FLAIR MR image.
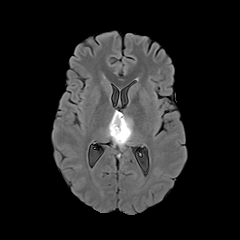
T1-weighted MRI.
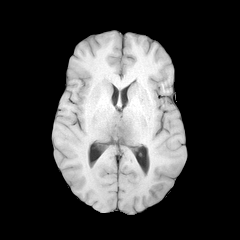
Post-contrast T1-weighted MRI.
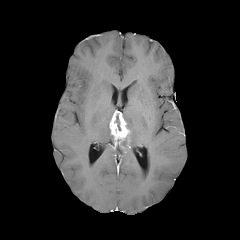
T2-weighted MR.
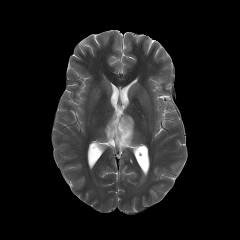
Axial slice; 240x240
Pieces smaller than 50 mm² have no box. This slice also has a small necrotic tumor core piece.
The enhancing tumor is bounded by box=[109, 110, 130, 146]. The 2 largest peritumoral edema regions appear at box=[119, 114, 133, 148]; box=[105, 122, 112, 140].